FLAIR MR.
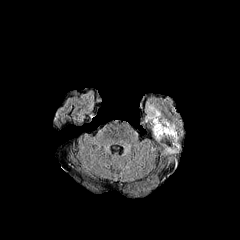
T1-weighted MR image.
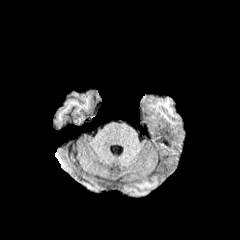
Post-contrast T1-weighted MRI.
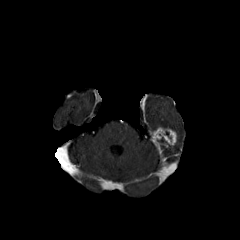
T2-weighted MRI.
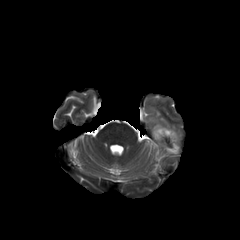
Axial view, 240x240 px
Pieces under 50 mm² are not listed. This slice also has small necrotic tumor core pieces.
peritumoral edema — 149,105,175,131; 166,142,181,154
enhancing tumor — 152,127,176,145